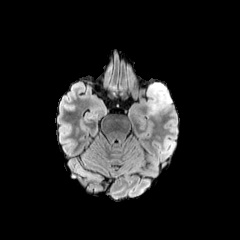
FLAIR MR.
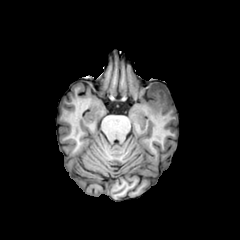
T1-weighted magnetic resonance.
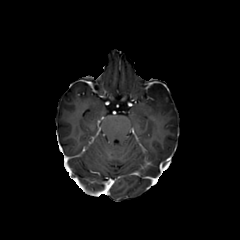
Post-contrast T1-weighted MR image.
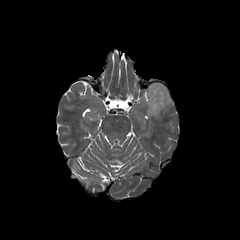
T2-weighted magnetic resonance of the same slice.
Axial slice. 240x240 px. Brain.
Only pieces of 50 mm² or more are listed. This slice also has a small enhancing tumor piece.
The peritumoral edema is bounded by x1=145, y1=83, x2=172, y2=116.